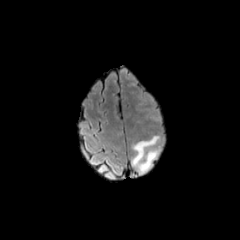
FLAIR MR.
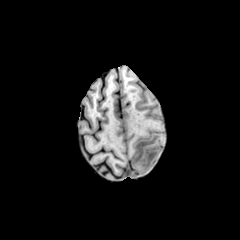
T1-weighted MR.
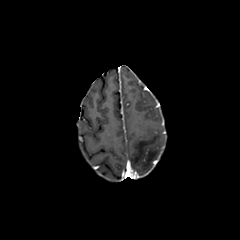
Post-contrast T1-weighted MR.
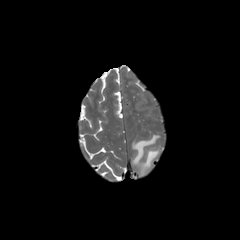
Same slice, T2-weighted MR.
Head
<segmentation>
  <peritumoral_edema>left=131, top=135, right=159, bottom=174</peritumoral_edema>
</segmentation>